FLAIR MRI.
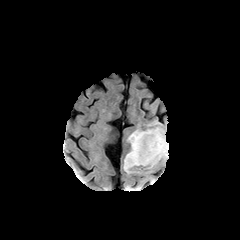
T1-weighted MR.
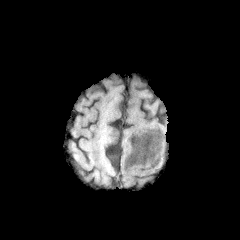
Post-contrast T1-weighted MRI.
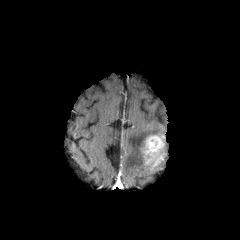
T2-weighted MR image.
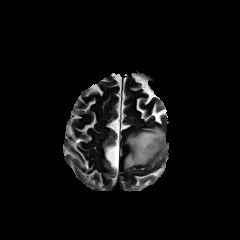
Head. Image size 240x240.
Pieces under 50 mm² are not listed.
peritumoral edema = {"x1": 164, "y1": 136, "x2": 168, "y2": 159}, {"x1": 124, "y1": 127, "x2": 164, "y2": 173}
enhancing tumor = {"x1": 140, "y1": 134, "x2": 165, "y2": 166}